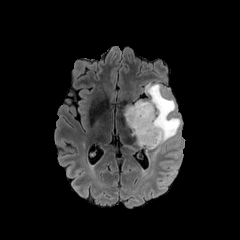
FLAIR magnetic resonance.
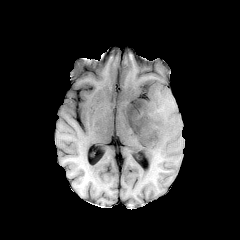
T1-weighted MR of the same slice.
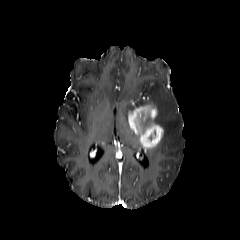
Same slice, post-contrast T1-weighted MR.
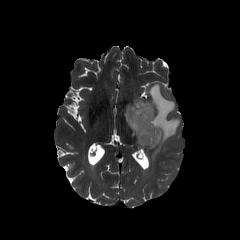
T2-weighted MRI.
240x240.
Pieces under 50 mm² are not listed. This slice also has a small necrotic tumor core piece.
peritumoral edema: 125, 81, 180, 158 | enhancing tumor: 128, 101, 164, 149